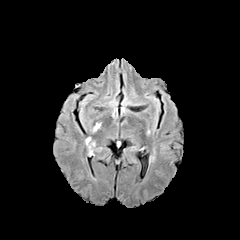
FLAIR magnetic resonance.
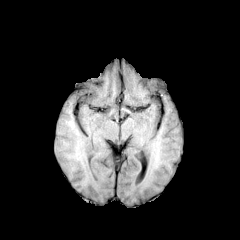
T1-weighted MRI.
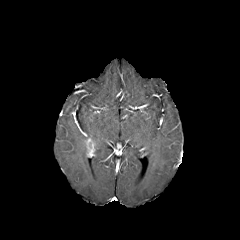
Post-contrast T1-weighted MR image of the same slice.
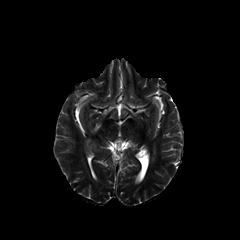
T2-weighted MRI.
Axial slice; Image size 240x240; Head
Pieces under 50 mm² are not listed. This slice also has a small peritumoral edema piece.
enhancing tumor: 85:138:95:155